Slice 125 of 155 | Brain
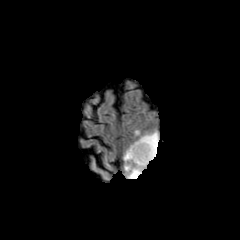
FLAIR MR.
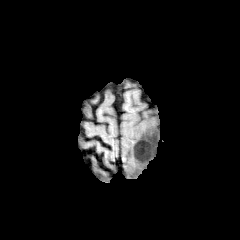
Same slice, T1-weighted MRI.
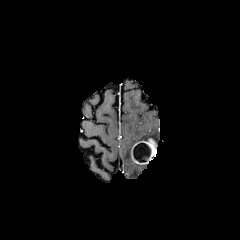
Post-contrast T1-weighted MRI of the same slice.
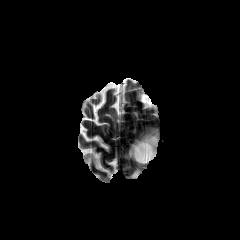
T2-weighted MR image of the same slice.
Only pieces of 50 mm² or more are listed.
enhancing tumor: (131,138,157,165) | peritumoral edema: (135,130,158,144), (125,164,146,178), (124,144,133,160) | necrotic tumor core: (133,143,150,162)